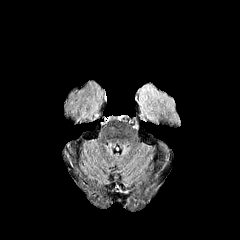
FLAIR MR image.
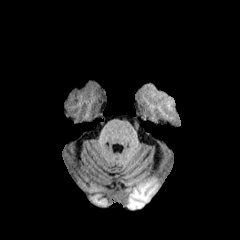
T1-weighted MR image.
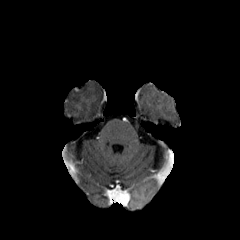
Post-contrast T1-weighted MR.
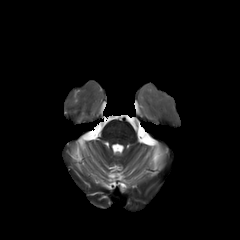
Same slice, T2-weighted MR.
240x240 px
peritumoral edema: bounding box [141, 86, 177, 120]